FLAIR MR image.
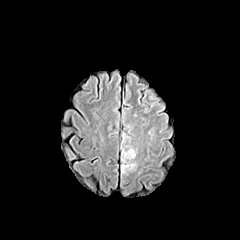
T1-weighted MR.
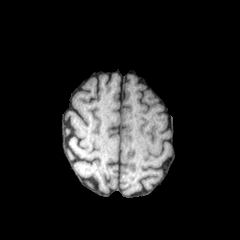
Post-contrast T1-weighted magnetic resonance.
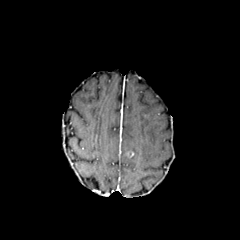
T2-weighted MR.
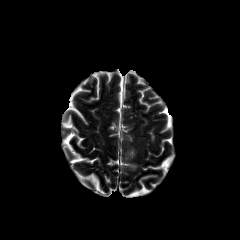
Brain | 240x240
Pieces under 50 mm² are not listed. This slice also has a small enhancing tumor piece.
Findings:
• peritumoral edema: [121, 163, 135, 173]